FLAIR MR.
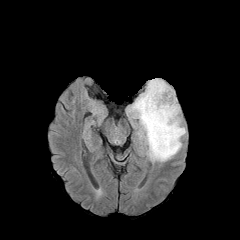
T1-weighted MRI.
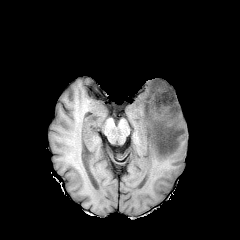
Post-contrast T1-weighted magnetic resonance.
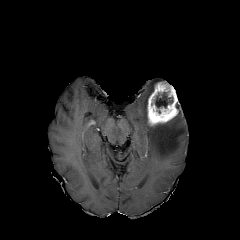
T2-weighted MRI.
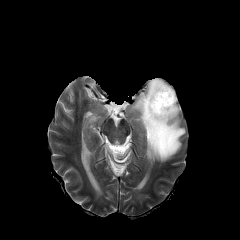
Head, 240x240
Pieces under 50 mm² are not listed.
Findings:
- peritumoral edema: (left=128, top=78, right=185, bottom=162)
- enhancing tumor: (left=147, top=81, right=178, bottom=126)
- necrotic tumor core: (left=155, top=92, right=172, bottom=107)